FLAIR MR image.
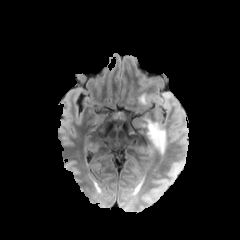
T1-weighted magnetic resonance.
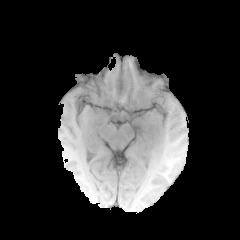
Post-contrast T1-weighted MR image.
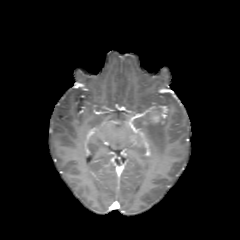
T2-weighted MRI.
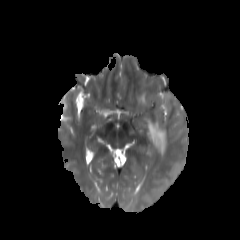
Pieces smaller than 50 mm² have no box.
enhancing tumor — left=153, top=114, right=159, bottom=122; left=161, top=106, right=168, bottom=117
peritumoral edema — left=145, top=119, right=166, bottom=155; left=159, top=93, right=171, bottom=108